FLAIR MR.
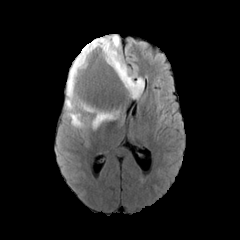
T1-weighted MRI.
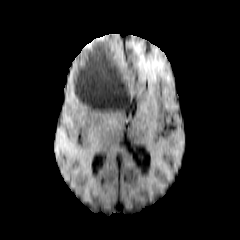
Post-contrast T1-weighted MR.
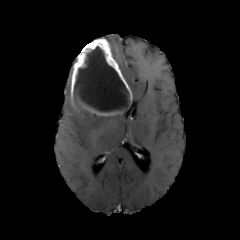
T2-weighted MRI.
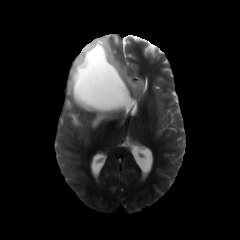
Axial view. Brain. 240x240 px.
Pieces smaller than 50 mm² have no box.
The necrotic tumor core is at rect(74, 46, 129, 111). The enhancing tumor is at rect(70, 37, 132, 116). The 3 largest peritumoral edema regions are located at rect(91, 114, 118, 128); rect(65, 67, 89, 127); rect(104, 35, 143, 99).